Axial view; Brain
FLAIR MR.
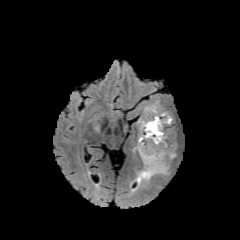
T1-weighted MR.
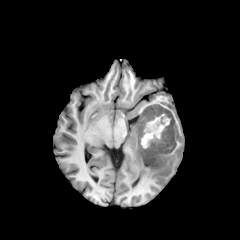
Post-contrast T1-weighted MR.
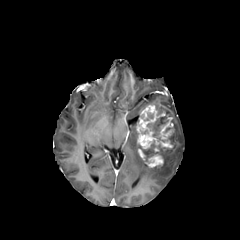
T2-weighted magnetic resonance.
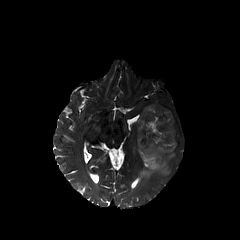
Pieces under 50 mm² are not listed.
Segmented structures:
* enhancing tumor: 136:105:174:167
* peritumoral edema: 137:142:176:185
* necrotic tumor core: 143:110:170:141, 141:140:169:161, 156:105:164:115